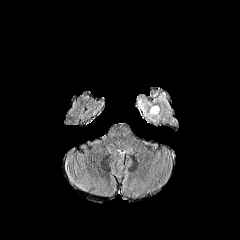
FLAIR MRI.
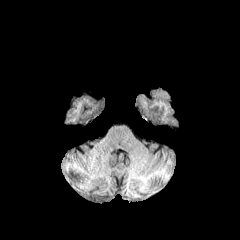
Same slice, T1-weighted MR image.
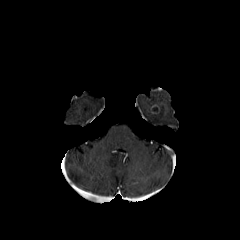
Post-contrast T1-weighted MRI.
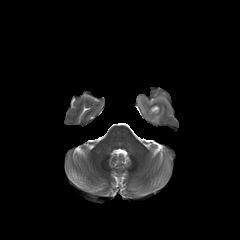
T2-weighted MRI.
Brain
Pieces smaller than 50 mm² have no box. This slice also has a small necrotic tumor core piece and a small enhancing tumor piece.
peritumoral edema: bounding box l=138, t=99, r=159, b=120